Brain, Slice index 70
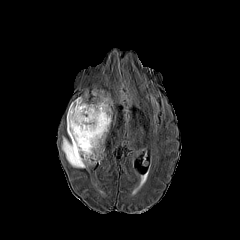
FLAIR MR image.
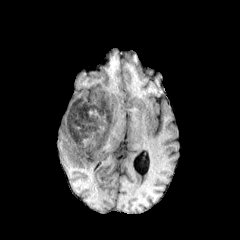
T1-weighted magnetic resonance.
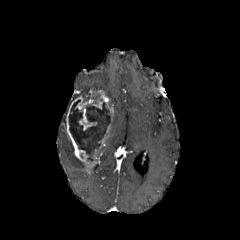
Post-contrast T1-weighted MRI.
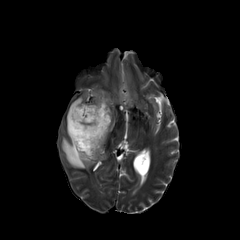
T2-weighted MR of the same slice.
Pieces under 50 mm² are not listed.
<segmentation>
  <necrotic_tumor_core>bbox=[68, 100, 110, 161]</necrotic_tumor_core>
  <enhancing_tumor>bbox=[66, 90, 113, 170]</enhancing_tumor>
  <peritumoral_edema>bbox=[62, 137, 86, 168]</peritumoral_edema>
</segmentation>